FLAIR MR.
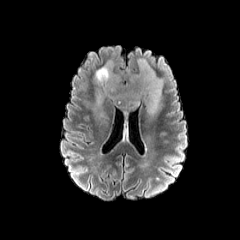
T1-weighted magnetic resonance.
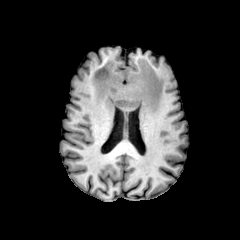
Post-contrast T1-weighted MR image.
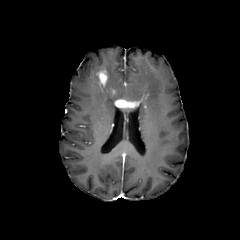
T2-weighted MRI.
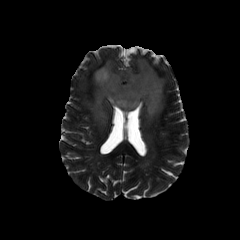
240x240 px
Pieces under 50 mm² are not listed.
<segmentation>
  <peritumoral_edema>l=118, t=106, r=138, b=113; l=93, t=58, r=163, b=126</peritumoral_edema>
  <enhancing_tumor>l=115, t=99, r=139, b=108; l=96, t=69, r=107, b=86</enhancing_tumor>
</segmentation>